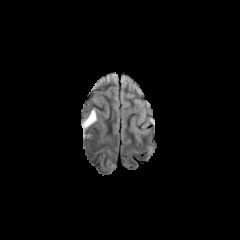
FLAIR MR image.
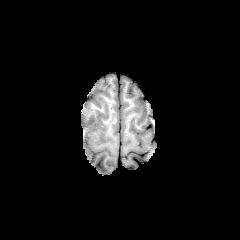
Same slice, T1-weighted MR image.
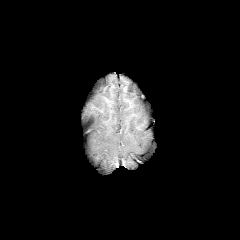
Post-contrast T1-weighted MR image.
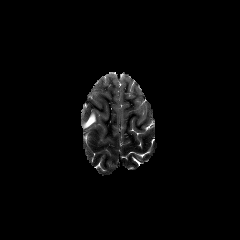
T2-weighted MR image.
Axial view | 240x240 | Brain
peritumoral edema = (left=81, top=109, right=97, bottom=128)